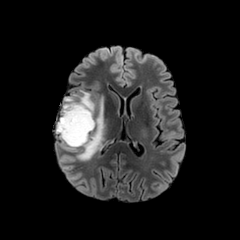
FLAIR MR.
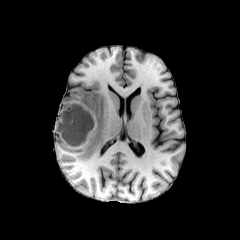
T1-weighted magnetic resonance.
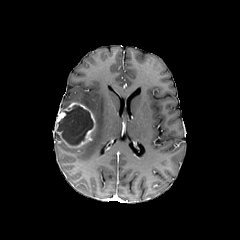
Post-contrast T1-weighted magnetic resonance of the same slice.
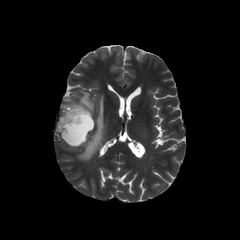
T2-weighted magnetic resonance of the same slice.
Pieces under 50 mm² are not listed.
<segmentation>
  <peritumoral_edema>[77, 90, 94, 113], [61, 94, 78, 111], [77, 97, 104, 160]</peritumoral_edema>
  <enhancing_tumor>[55, 102, 95, 147]</enhancing_tumor>
  <necrotic_tumor_core>[57, 105, 93, 145]</necrotic_tumor_core>
</segmentation>